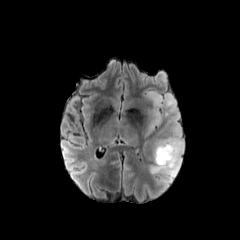
FLAIR MR.
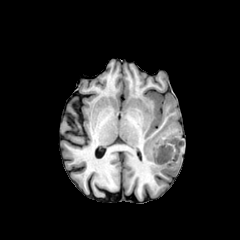
Same slice, T1-weighted MRI.
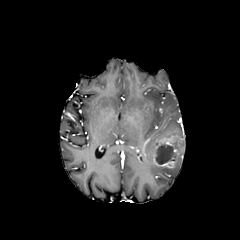
Same slice, post-contrast T1-weighted MRI.
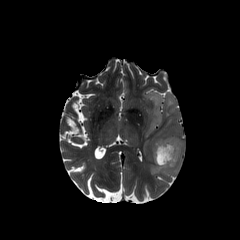
Same slice, T2-weighted magnetic resonance.
Axial slice | Brain | Image size 240x240
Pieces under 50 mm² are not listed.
Findings:
- enhancing tumor: left=153, top=135, right=183, bottom=168
- necrotic tumor core: left=156, top=144, right=175, bottom=164
- peritumoral edema: left=142, top=89, right=182, bottom=155; left=150, top=140, right=184, bottom=179